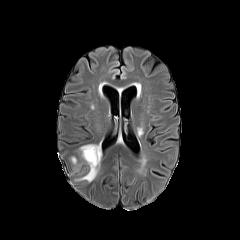
FLAIR MRI.
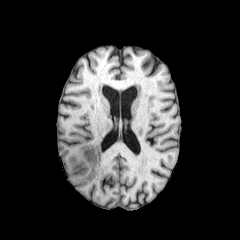
Same slice, T1-weighted magnetic resonance.
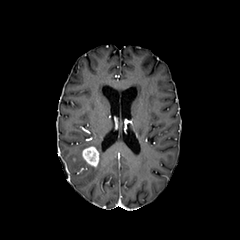
Post-contrast T1-weighted MRI.
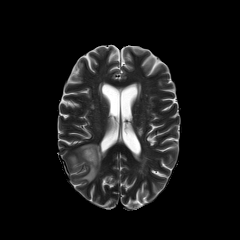
T2-weighted MRI.
Brain
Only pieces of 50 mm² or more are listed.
Annotated regions:
* enhancing tumor: [82,146,99,166]
* peritumoral edema: [77,144,101,182]